FLAIR magnetic resonance.
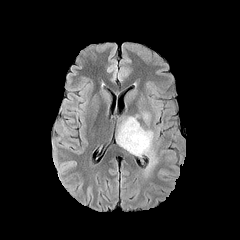
T1-weighted MRI.
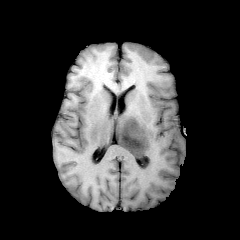
Post-contrast T1-weighted MR.
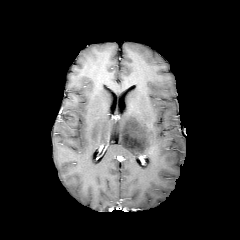
T2-weighted MRI.
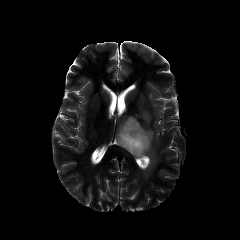
Image size 240x240, Axial view, Head
2 peritumoral edema regions appear at x1=116 y1=115 x2=157 y2=173, x1=142 y1=112 x2=150 y2=122.